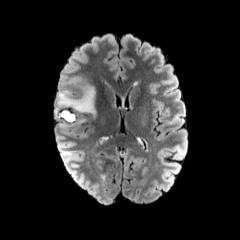
FLAIR MR image.
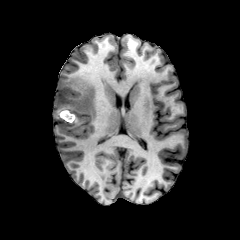
Same slice, T1-weighted MR.
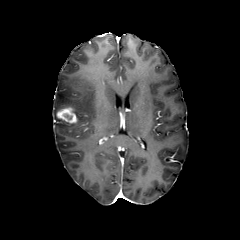
Same slice, post-contrast T1-weighted MR.
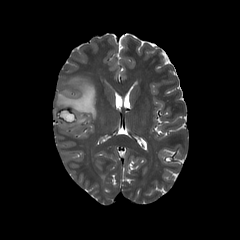
T2-weighted magnetic resonance of the same slice.
Brain
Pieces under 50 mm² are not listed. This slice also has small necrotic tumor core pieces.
Segmented structures:
* peritumoral edema: region(58, 117, 85, 127); region(54, 75, 96, 119)
* enhancing tumor: region(56, 107, 77, 123)